Head. Axial slice. Image size 240x240.
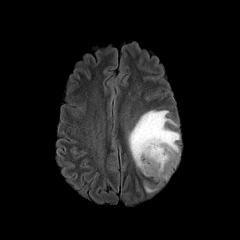
FLAIR magnetic resonance.
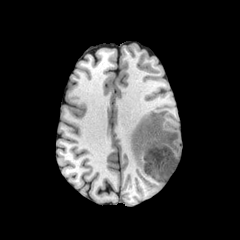
T1-weighted magnetic resonance.
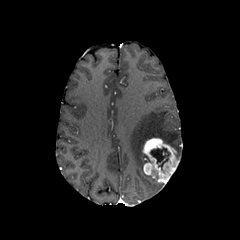
Post-contrast T1-weighted MR.
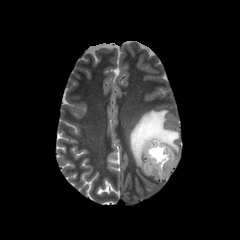
Same slice, T2-weighted MR.
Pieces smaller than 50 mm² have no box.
necrotic tumor core: bounding box bbox(150, 148, 169, 169)
enhancing tumor: bounding box bbox(142, 138, 179, 183)
peritumoral edema: bounding box bbox(128, 110, 179, 171)